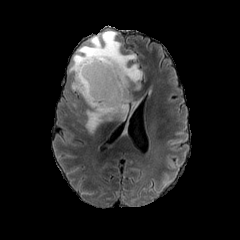
FLAIR MR image.
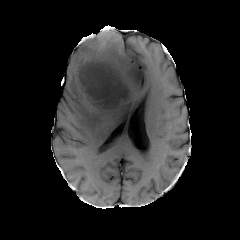
Same slice, T1-weighted MR.
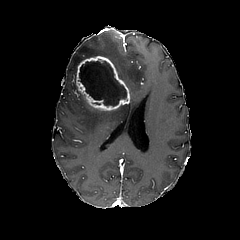
Post-contrast T1-weighted magnetic resonance.
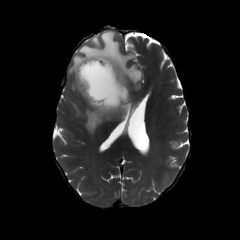
T2-weighted magnetic resonance.
Axial plane; Head
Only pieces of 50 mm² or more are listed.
Findings:
* peritumoral edema: left=68, top=31, right=142, bottom=96; left=85, top=91, right=134, bottom=132
* necrotic tumor core: left=79, top=61, right=126, bottom=105
* enhancing tumor: left=76, top=55, right=130, bottom=111